FLAIR MR.
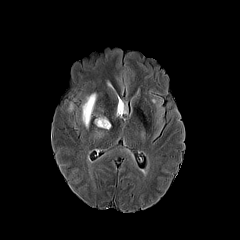
T1-weighted MR image.
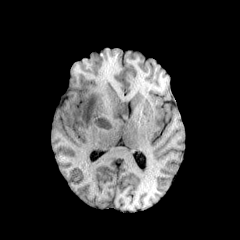
Post-contrast T1-weighted MRI.
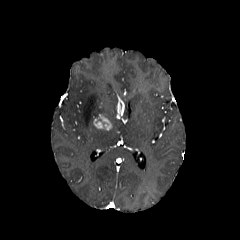
T2-weighted MR.
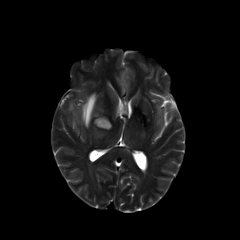
Head
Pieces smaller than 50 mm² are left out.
enhancing tumor = 93, 114, 111, 130; 116, 96, 122, 117
peritumoral edema = 81, 93, 96, 128